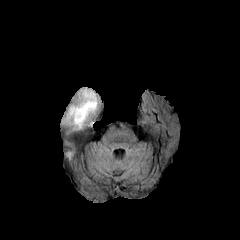
FLAIR MR image.
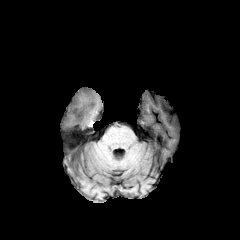
T1-weighted MR image of the same slice.
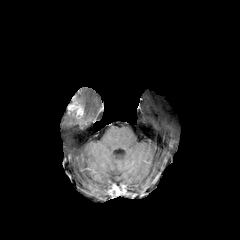
Post-contrast T1-weighted MR.
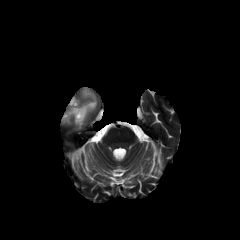
T2-weighted MRI of the same slice.
Head
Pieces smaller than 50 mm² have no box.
<segmentation>
  <peritumoral_edema>61, 87, 98, 129</peritumoral_edema>
  <enhancing_tumor>68, 96, 83, 121</enhancing_tumor>
</segmentation>